240x240 px. Axial slice. Image covers 240 mm x 240 mm.
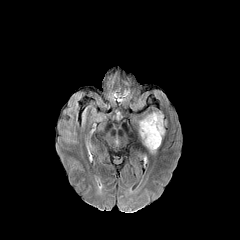
FLAIR MRI.
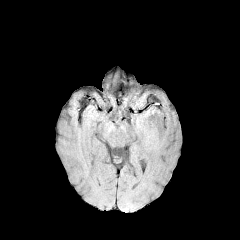
T1-weighted MR of the same slice.
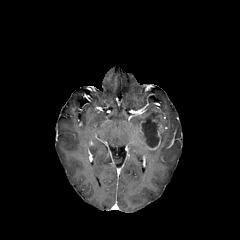
Post-contrast T1-weighted MR.
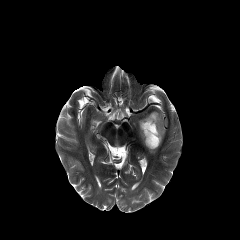
T2-weighted MRI.
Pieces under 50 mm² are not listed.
{
  "peritumoral_edema": [
    {"x1": 139, "y1": 112, "x2": 163, "y2": 144}
  ],
  "enhancing_tumor": [
    {"x1": 143, "y1": 117, "x2": 164, "y2": 149}
  ],
  "necrotic_tumor_core": [
    {"x1": 141, "y1": 118, "x2": 159, "y2": 147}
  ]
}